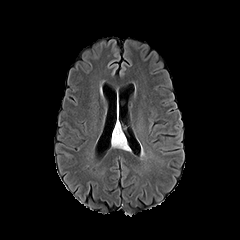
FLAIR MRI.
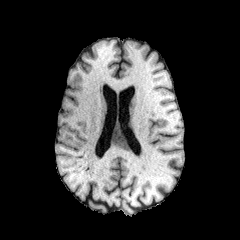
T1-weighted MRI.
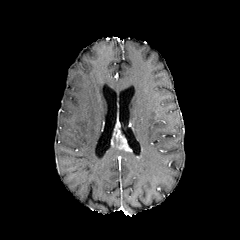
Same slice, post-contrast T1-weighted MR image.
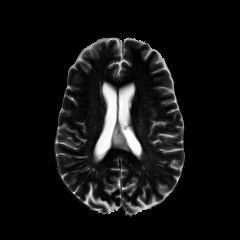
T2-weighted MRI.
Brain. Image size 240x240.
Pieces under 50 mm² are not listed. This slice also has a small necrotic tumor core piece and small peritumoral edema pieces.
{
  "enhancing_tumor": [
    "region(111, 126, 130, 151)"
  ]
}